Slice 81/155, 240x240, Head
FLAIR MR.
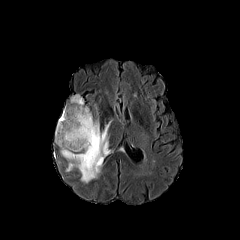
T1-weighted MR image.
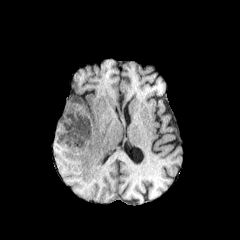
Post-contrast T1-weighted MR.
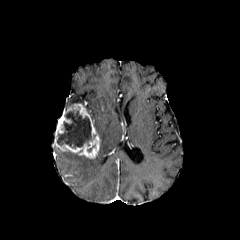
T2-weighted MRI.
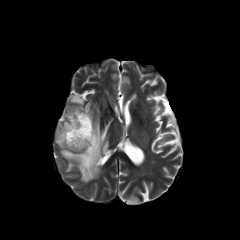
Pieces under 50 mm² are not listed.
enhancing tumor: 53, 104, 100, 158 | peritumoral edema: 70, 94, 83, 103; 60, 118, 110, 183 | necrotic tumor core: 57, 109, 91, 148